Axial view; Head; 240x240 px
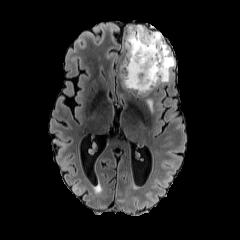
FLAIR MRI.
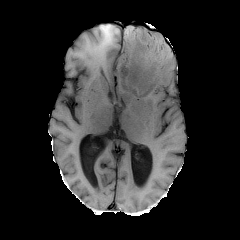
T1-weighted MR image.
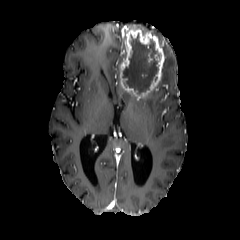
Same slice, post-contrast T1-weighted MR.
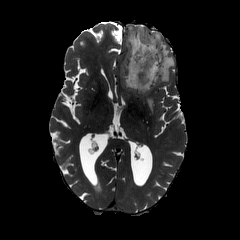
T2-weighted magnetic resonance.
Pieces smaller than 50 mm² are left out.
4 peritumoral edema regions are bounded by {"x1": 149, "y1": 31, "x2": 175, "y2": 84}, {"x1": 121, "y1": 92, "x2": 131, "y2": 98}, {"x1": 125, "y1": 25, "x2": 148, "y2": 30}, {"x1": 147, "y1": 98, "x2": 152, "y2": 113}. The largest enhancing tumor region is bounded by {"x1": 120, "y1": 26, "x2": 165, "y2": 97}. The largest necrotic tumor core region is at {"x1": 122, "y1": 34, "x2": 158, "y2": 94}.